240x240 px
FLAIR magnetic resonance.
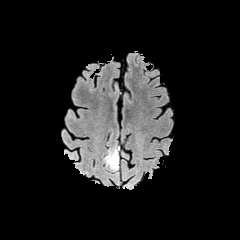
T1-weighted MR image.
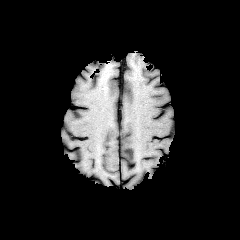
Post-contrast T1-weighted magnetic resonance.
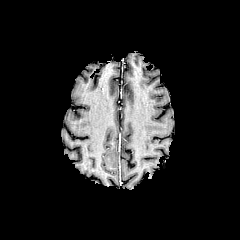
T2-weighted MR image.
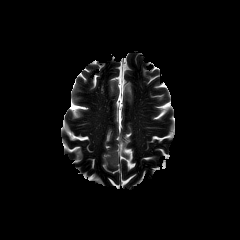
peritumoral edema = l=104, t=151, r=117, b=168